FLAIR MR.
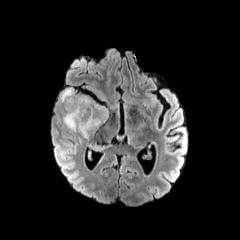
T1-weighted MR image.
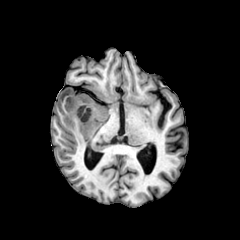
Post-contrast T1-weighted MR.
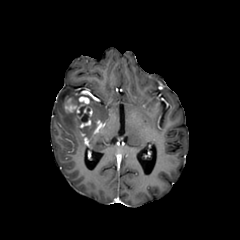
T2-weighted MRI.
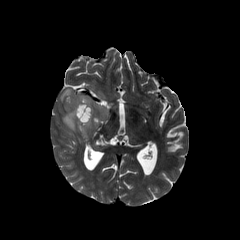
Image size 240x240; Axial view; Brain
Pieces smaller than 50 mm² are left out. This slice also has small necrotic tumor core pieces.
{"enhancing_tumor": ["<bbox>65, 96, 101, 129</bbox>"], "peritumoral_edema": ["<bbox>89, 99, 108, 122</bbox>", "<bbox>60, 88, 78, 102</bbox>", "<bbox>63, 112, 96, 137</bbox>"]}